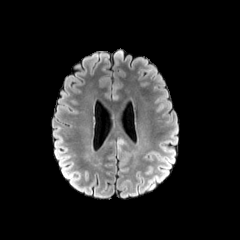
FLAIR MR.
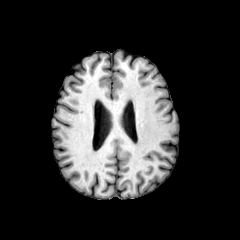
T1-weighted MR of the same slice.
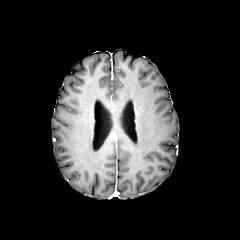
Same slice, post-contrast T1-weighted MR.
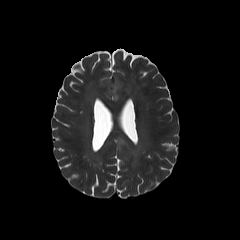
Same slice, T2-weighted magnetic resonance.
Axial slice.
Findings:
- peritumoral edema: [112, 86, 118, 100]